Head | Slice 120/155
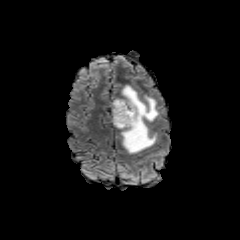
FLAIR magnetic resonance.
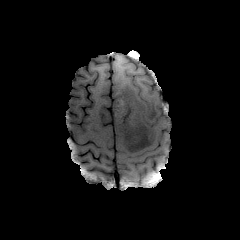
T1-weighted MR of the same slice.
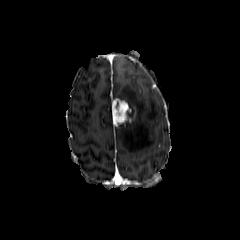
Post-contrast T1-weighted magnetic resonance of the same slice.
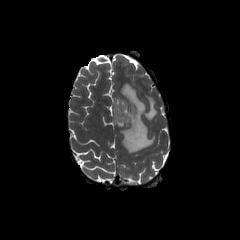
Same slice, T2-weighted MR.
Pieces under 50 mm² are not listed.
<segmentation>
  <peritumoral_edema>region(116, 84, 158, 153)</peritumoral_edema>
  <enhancing_tumor>region(112, 98, 136, 126)</enhancing_tumor>
</segmentation>